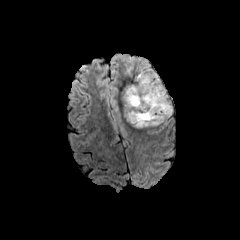
FLAIR MR.
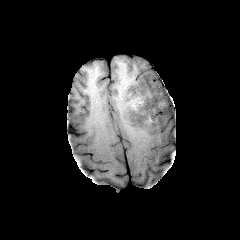
Same slice, T1-weighted magnetic resonance.
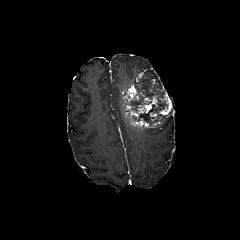
Post-contrast T1-weighted magnetic resonance.
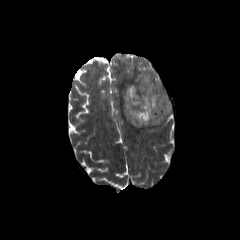
T2-weighted MR.
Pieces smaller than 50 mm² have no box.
<segmentation>
  <necrotic_tumor_core>box(129, 76, 168, 122)</necrotic_tumor_core>
  <enhancing_tumor>box(120, 84, 172, 129)</enhancing_tumor>
  <peritumoral_edema>box(135, 67, 157, 82)</peritumoral_edema>
</segmentation>